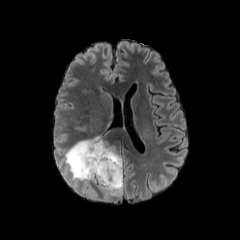
FLAIR MR image.
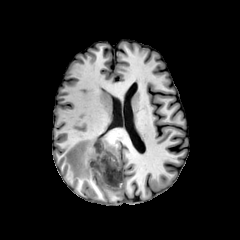
Same slice, T1-weighted MR.
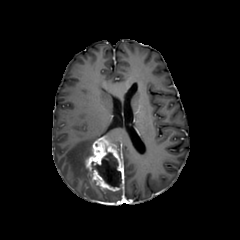
Post-contrast T1-weighted MRI of the same slice.
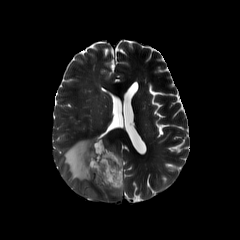
T2-weighted MR.
Axial slice
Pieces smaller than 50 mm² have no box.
Findings:
• peritumoral edema: box=[65, 136, 99, 180]; box=[99, 187, 122, 196]
• necrotic tumor core: box=[91, 152, 121, 187]
• enhancing tumor: box=[85, 137, 123, 191]